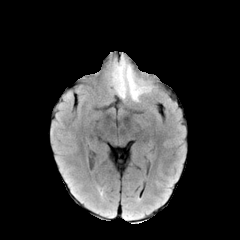
FLAIR magnetic resonance.
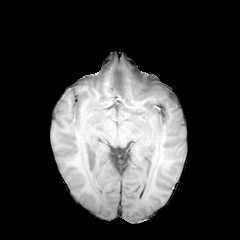
T1-weighted magnetic resonance.
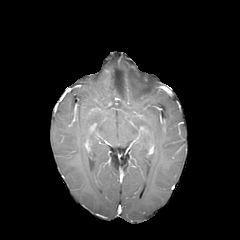
Post-contrast T1-weighted MRI.
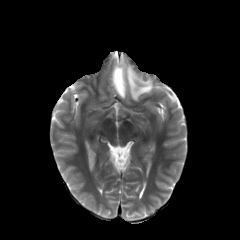
Same slice, T2-weighted MR image.
The peritumoral edema is located at box=[112, 58, 151, 101].